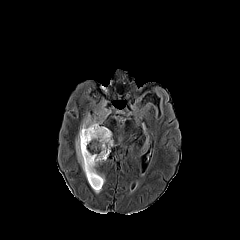
FLAIR magnetic resonance.
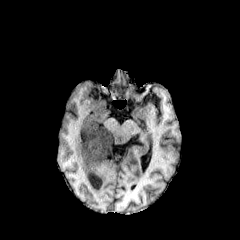
T1-weighted MRI.
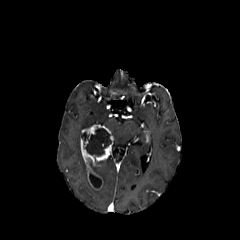
Post-contrast T1-weighted MR image of the same slice.
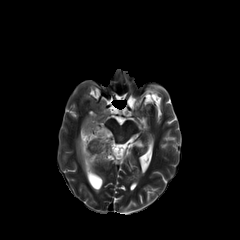
T2-weighted MRI.
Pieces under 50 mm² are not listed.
peritumoral edema — {"x1": 90, "y1": 164, "x2": 105, "y2": 184}, {"x1": 75, "y1": 114, "x2": 103, "y2": 177}
necrotic tumor core — {"x1": 89, "y1": 173, "x2": 101, "y2": 188}, {"x1": 82, "y1": 127, "x2": 111, "y2": 156}
enhancing tumor — {"x1": 80, "y1": 124, "x2": 113, "y2": 190}